Slice 30/155.
FLAIR MRI.
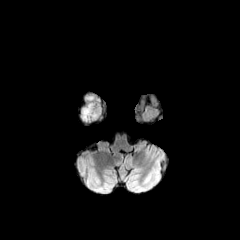
T1-weighted MR image.
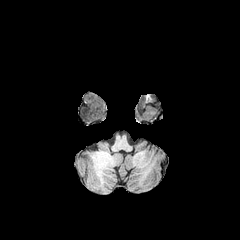
Post-contrast T1-weighted MRI.
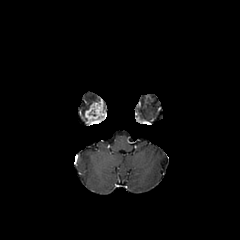
T2-weighted MR.
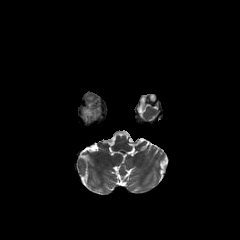
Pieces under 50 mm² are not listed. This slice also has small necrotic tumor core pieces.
The peritumoral edema lies within [x1=81, y1=95, x2=104, y2=122]. The enhancing tumor is located at [x1=84, y1=102, x2=102, y2=124].